FLAIR MRI.
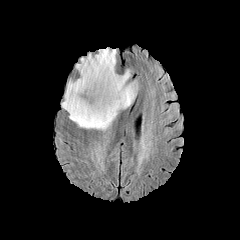
T1-weighted MR image.
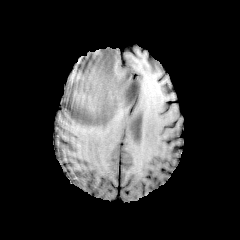
Post-contrast T1-weighted MRI.
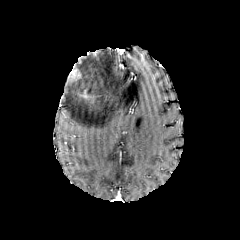
T2-weighted MR image.
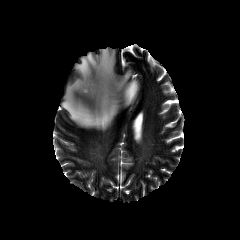
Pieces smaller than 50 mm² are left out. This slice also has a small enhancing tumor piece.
peritumoral edema: bounding box <box>62,47,138,131</box>